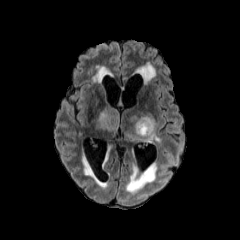
FLAIR magnetic resonance.
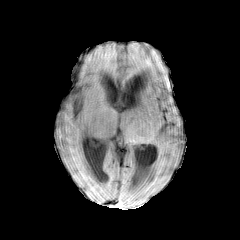
Same slice, T1-weighted MR image.
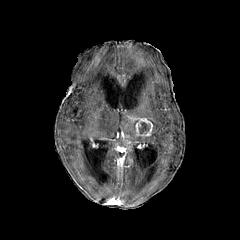
Post-contrast T1-weighted magnetic resonance.
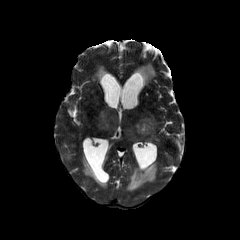
T2-weighted magnetic resonance.
Axial view
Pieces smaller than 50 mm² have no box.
The peritumoral edema is bounded by box=[96, 107, 160, 143]. The largest enhancing tumor region appears at box=[135, 116, 153, 139]. The necrotic tumor core appears at box=[139, 122, 149, 133].